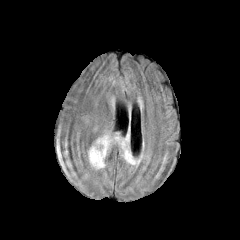
FLAIR MR.
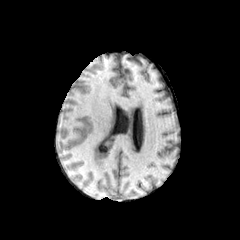
T1-weighted MRI of the same slice.
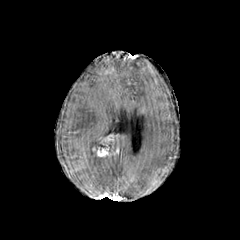
Same slice, post-contrast T1-weighted MRI.
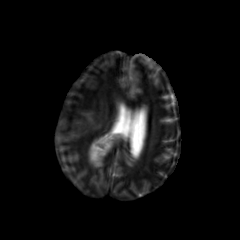
T2-weighted MR image of the same slice.
Brain | Axial slice | Image size 240x240
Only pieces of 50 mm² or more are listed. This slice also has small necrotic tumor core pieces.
enhancing tumor: (left=92, top=133, right=115, bottom=156)
peritumoral edema: (left=89, top=138, right=104, bottom=168)